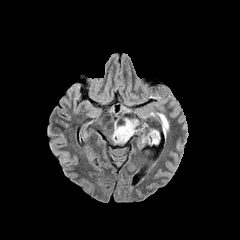
FLAIR MR.
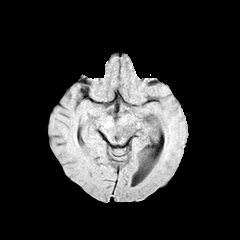
T1-weighted MR image of the same slice.
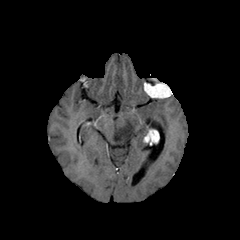
Post-contrast T1-weighted magnetic resonance.
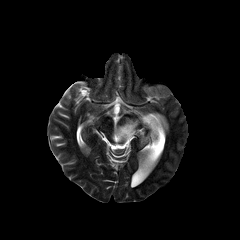
T2-weighted MR image.
Brain
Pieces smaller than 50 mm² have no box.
<segmentation>
  <enhancing_tumor>143:129:159:145</enhancing_tumor>
  <peritumoral_edema>112:118:143:143, 148:112:168:137</peritumoral_edema>
</segmentation>